Brain, Image width 240 mm, Slice 103 of 155
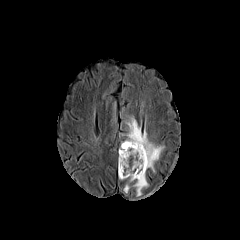
FLAIR magnetic resonance.
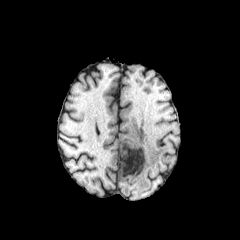
T1-weighted MR.
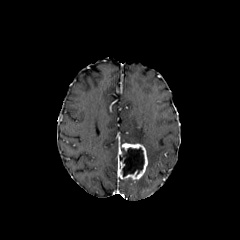
Post-contrast T1-weighted MRI.
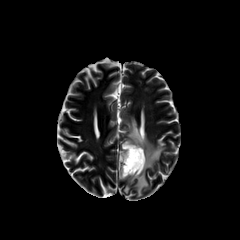
T2-weighted MR of the same slice.
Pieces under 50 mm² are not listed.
• peritumoral edema: [x1=133, y1=171, x2=148, y2=196], [x1=124, y1=178, x2=133, y2=193], [x1=121, y1=116, x2=164, y2=171]
• enhancing tumor: [x1=118, y1=143, x2=147, y2=179]
• necrotic tumor core: [x1=119, y1=147, x2=144, y2=176]